FLAIR MR image.
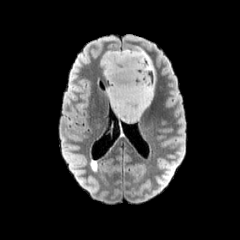
T1-weighted magnetic resonance.
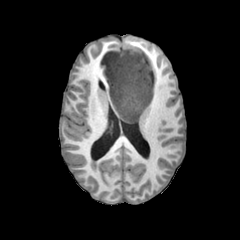
Post-contrast T1-weighted MR.
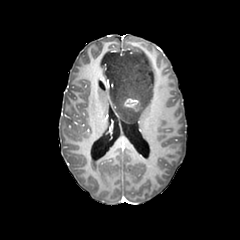
T2-weighted MRI.
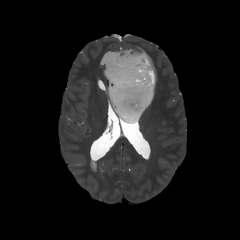
240x240 px; Head
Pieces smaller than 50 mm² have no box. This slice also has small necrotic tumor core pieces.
enhancing tumor: left=124, top=98, right=142, bottom=111
peritumoral edema: left=101, top=47, right=155, bottom=122